Brain. Image size 240x240.
FLAIR magnetic resonance.
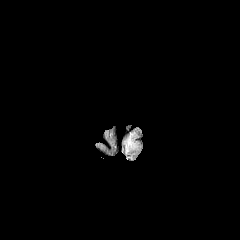
T1-weighted magnetic resonance.
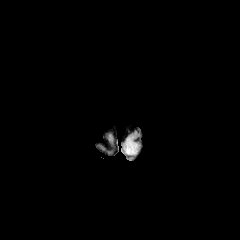
Post-contrast T1-weighted MR.
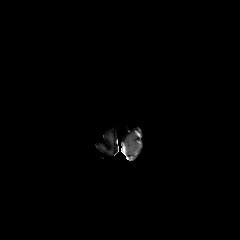
T2-weighted MR image.
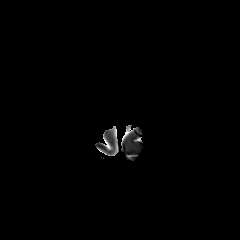
The peritumoral edema is at rect(125, 135, 137, 148).